FLAIR MR.
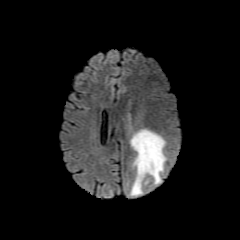
T1-weighted MR image.
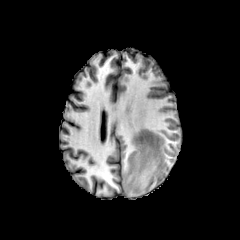
Post-contrast T1-weighted magnetic resonance.
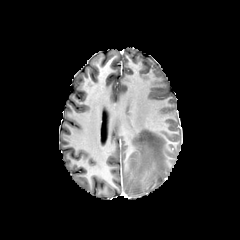
T2-weighted magnetic resonance.
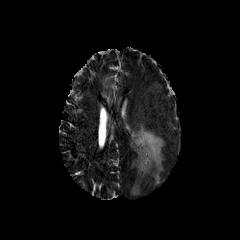
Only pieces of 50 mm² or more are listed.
peritumoral_edema:
  - left=130, top=128, right=166, bottom=195